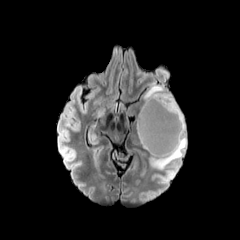
FLAIR MR image.
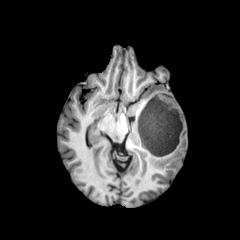
Same slice, T1-weighted MR.
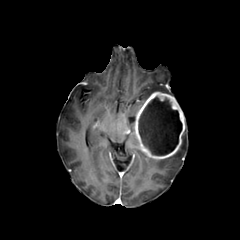
Post-contrast T1-weighted MR image of the same slice.
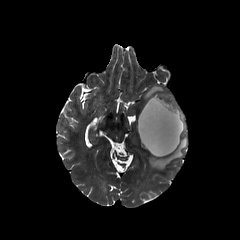
T2-weighted MRI of the same slice.
Axial slice.
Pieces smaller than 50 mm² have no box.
{
  "peritumoral_edema": [
    "bbox(143, 84, 171, 102)",
    "bbox(149, 126, 187, 169)"
  ],
  "necrotic_tumor_core": [
    "bbox(138, 97, 182, 155)"
  ],
  "enhancing_tumor": [
    "bbox(134, 91, 185, 159)"
  ]
}